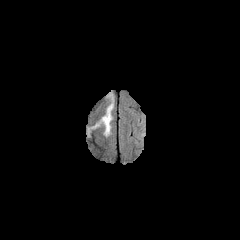
FLAIR MRI.
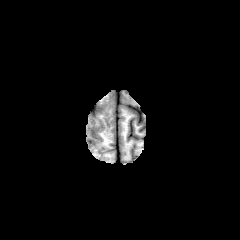
T1-weighted MRI.
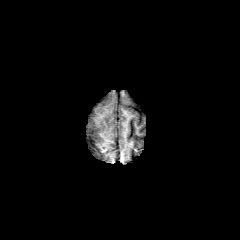
Post-contrast T1-weighted magnetic resonance.
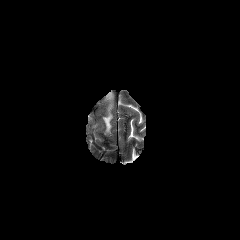
Same slice, T2-weighted magnetic resonance.
Head, 240x240
The peritumoral edema appears at [102,105,112,133].